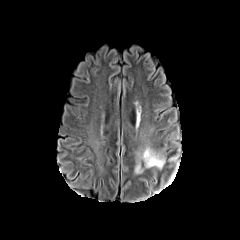
FLAIR MR.
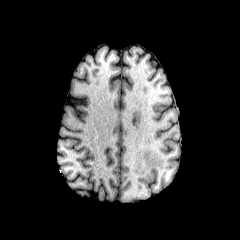
T1-weighted MR image.
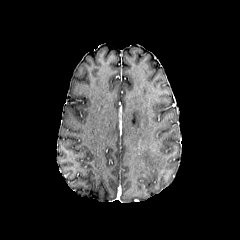
Same slice, post-contrast T1-weighted MR.
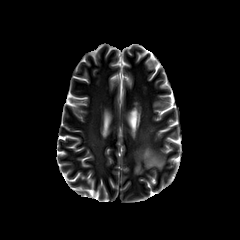
Same slice, T2-weighted MR image.
Axial slice.
Findings:
• peritumoral edema: x1=135, y1=147, x2=165, y2=173